FLAIR MR image.
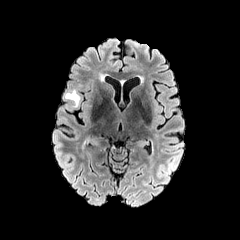
T1-weighted MRI.
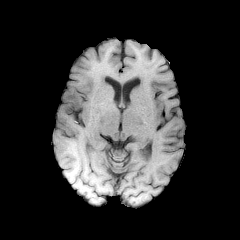
Post-contrast T1-weighted MR image.
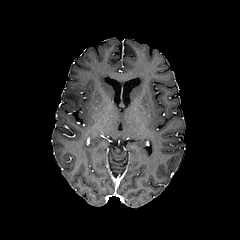
T2-weighted magnetic resonance.
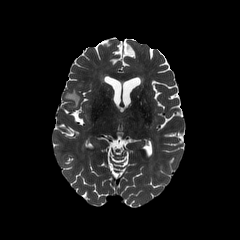
Axial view; Brain; 240x240
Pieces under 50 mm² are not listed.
peritumoral edema = bbox(64, 87, 80, 107)